Slice index 113
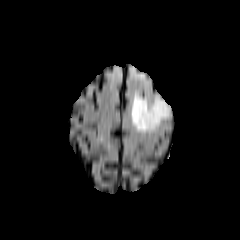
FLAIR magnetic resonance.
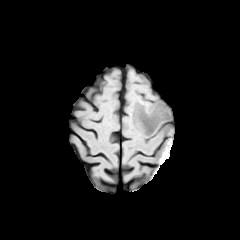
T1-weighted MRI of the same slice.
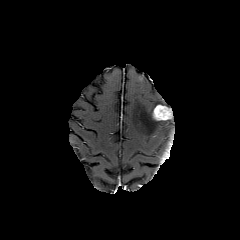
Post-contrast T1-weighted MRI of the same slice.
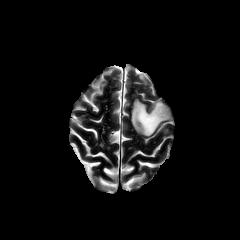
T2-weighted MR.
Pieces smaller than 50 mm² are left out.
enhancing_tumor:
  - [152,104,172,120]
peritumoral_edema:
  - [131,93,166,136]